Head
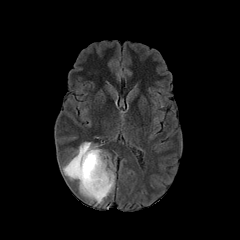
FLAIR MR image.
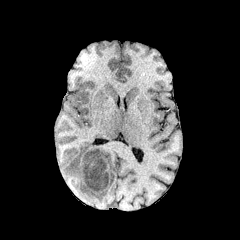
Same slice, T1-weighted MR image.
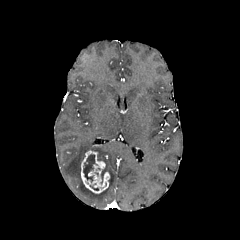
Post-contrast T1-weighted MR.
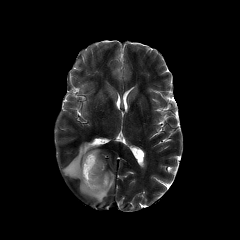
T2-weighted MR image.
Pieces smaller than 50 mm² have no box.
enhancing tumor: bounding box x1=80 y1=150 x2=109 y2=193
peritumoral edema: bounding box x1=63 y1=142 x2=114 y2=203
necrotic tumor core: bounding box x1=83 y1=154 x2=95 y2=182